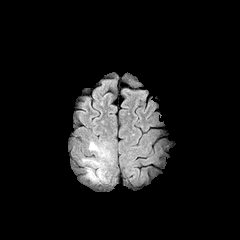
FLAIR magnetic resonance.
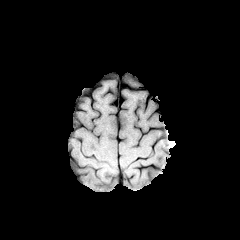
T1-weighted MR of the same slice.
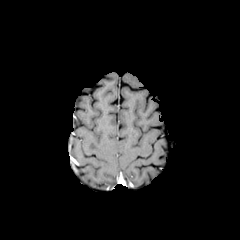
Post-contrast T1-weighted MR image of the same slice.
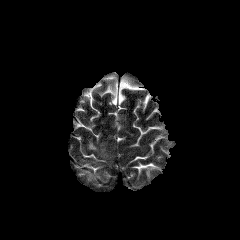
T2-weighted MR image.
Axial slice
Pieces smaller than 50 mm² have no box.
peritumoral edema = box=[89, 142, 97, 150]